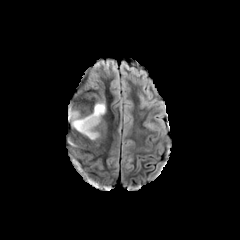
FLAIR MR image.
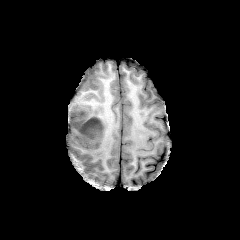
Same slice, T1-weighted MR image.
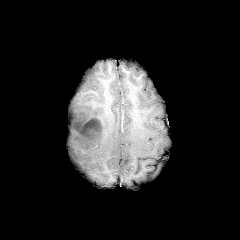
Post-contrast T1-weighted MR of the same slice.
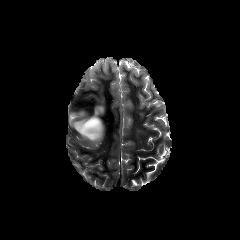
T2-weighted magnetic resonance.
Axial slice
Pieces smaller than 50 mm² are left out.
enhancing tumor at {"x1": 78, "y1": 117, "x2": 102, "y2": 145}
peritumoral edema at {"x1": 68, "y1": 101, "x2": 105, "y2": 131}
necrotic tumor core at {"x1": 85, "y1": 119, "x2": 98, "y2": 131}